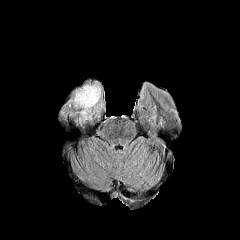
FLAIR MR.
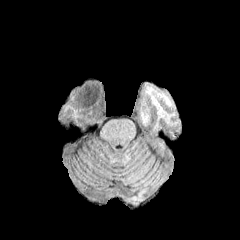
T1-weighted MR image.
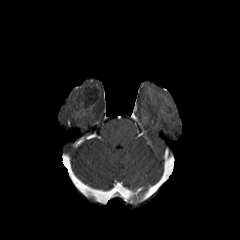
Post-contrast T1-weighted MR image.
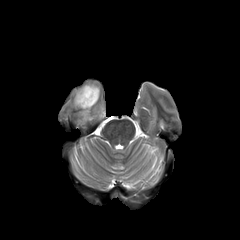
Same slice, T2-weighted MR image.
Axial plane | Head | 240x240 px
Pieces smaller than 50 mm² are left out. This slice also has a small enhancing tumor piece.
necrotic tumor core — (78,87,97,107)
peritumoral edema — (69,84,102,121)